FLAIR MRI.
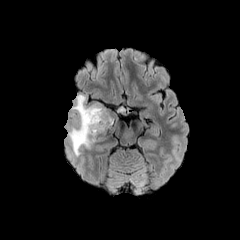
T1-weighted MRI.
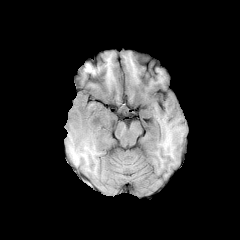
Post-contrast T1-weighted MR image.
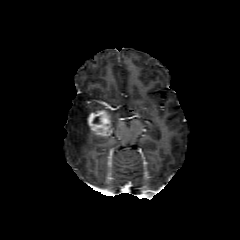
T2-weighted MR.
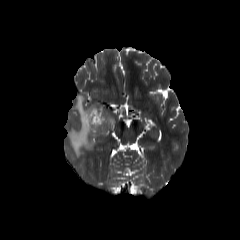
Brain
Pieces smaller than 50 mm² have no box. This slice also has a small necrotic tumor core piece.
peritumoral edema: (x1=67, y1=94, x2=107, y2=156) | enhancing tumor: (x1=87, y1=110, x2=112, y2=137)